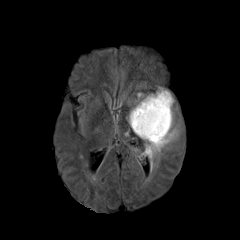
FLAIR MR image.
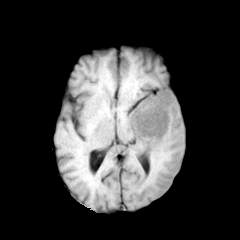
T1-weighted MR image.
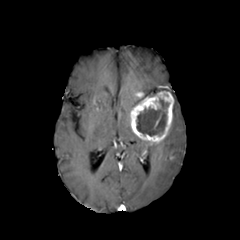
Post-contrast T1-weighted MR image.
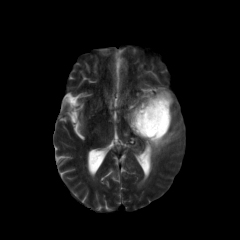
T2-weighted MRI of the same slice.
Axial slice
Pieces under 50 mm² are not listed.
necrotic tumor core: bounding box [136, 98, 169, 136]
enhancing tumor: bounding box [129, 91, 173, 144]
peritumoral edema: bounding box [145, 109, 179, 170]